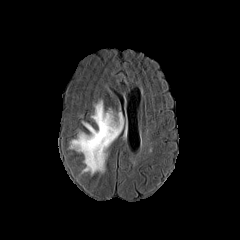
FLAIR MR.
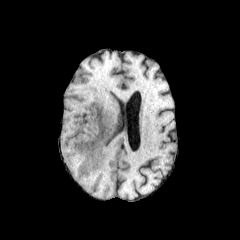
T1-weighted MR of the same slice.
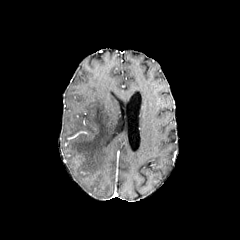
Same slice, post-contrast T1-weighted magnetic resonance.
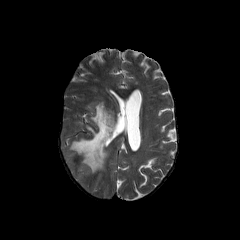
T2-weighted MR of the same slice.
Axial plane
The peritumoral edema appears at bbox=[70, 101, 123, 173].